Image size 240x240; Axial view; Image width 240 mm
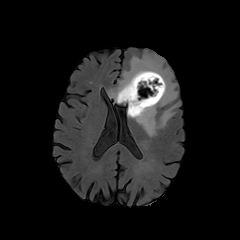
FLAIR magnetic resonance.
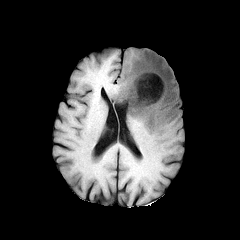
T1-weighted MR.
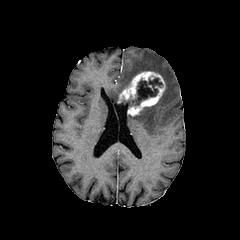
Post-contrast T1-weighted MR image.
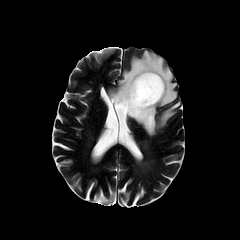
T2-weighted MR image of the same slice.
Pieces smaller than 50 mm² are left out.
The largest enhancing tumor region is located at left=117, top=71, right=165, bottom=116. The peritumoral edema is bounded by left=108, top=50, right=180, bottom=136. The necrotic tumor core is located at left=133, top=78, right=162, bottom=105.